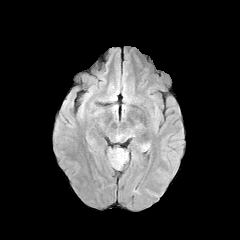
FLAIR MR image.
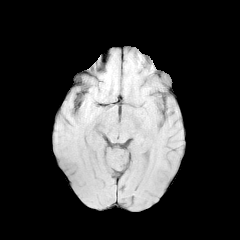
T1-weighted MR.
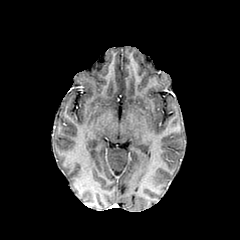
Post-contrast T1-weighted MR image.
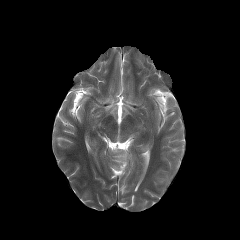
Same slice, T2-weighted MRI.
Brain
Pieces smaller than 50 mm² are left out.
peritumoral edema — 109, 148, 127, 169